FLAIR MRI.
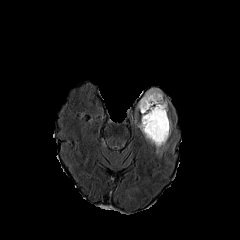
T1-weighted MRI.
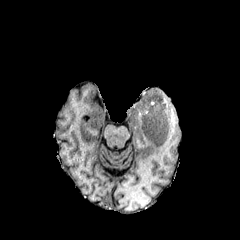
Post-contrast T1-weighted magnetic resonance.
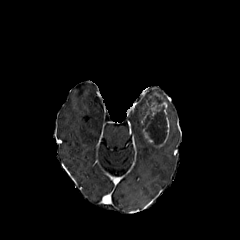
T2-weighted MR image.
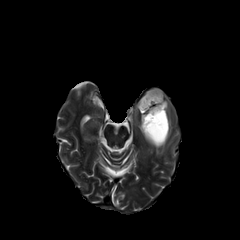
Brain; Image size 240x240
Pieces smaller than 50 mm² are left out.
{"necrotic_tumor_core": ["(left=148, top=96, right=161, bottom=105)", "(left=144, top=106, right=167, bottom=145)"], "peritumoral_edema": ["(left=155, top=143, right=168, bottom=155)", "(left=137, top=88, right=166, bottom=119)"], "enhancing_tumor": ["(left=141, top=92, right=169, bottom=147)"]}